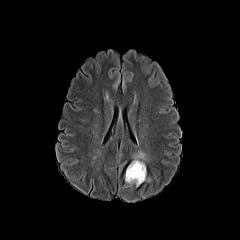
FLAIR magnetic resonance.
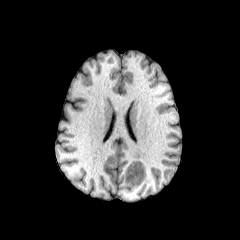
T1-weighted MRI of the same slice.
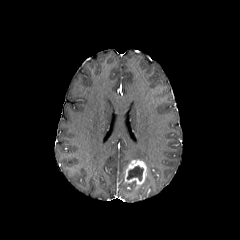
Post-contrast T1-weighted MR.
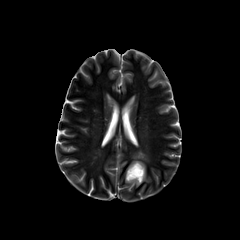
T2-weighted MR image.
Brain, Axial view, 240x240
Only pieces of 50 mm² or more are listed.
The necrotic tumor core is located at 127:166:143:180. The enhancing tumor is located at 124:159:146:186. The largest peritumoral edema region appears at 133:151:147:161.